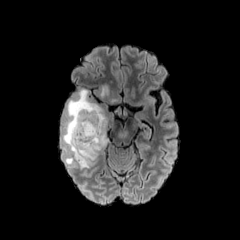
FLAIR MRI.
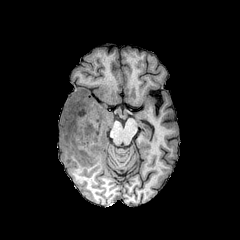
T1-weighted MR image.
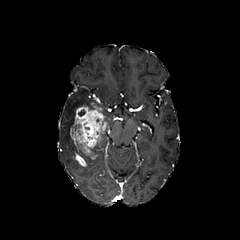
Post-contrast T1-weighted magnetic resonance.
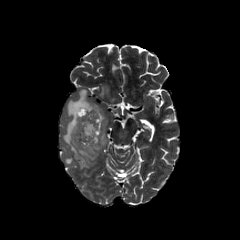
Same slice, T2-weighted MR.
Brain. Axial plane. 240x240.
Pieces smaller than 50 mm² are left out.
{
  "enhancing_tumor": [
    "69:103:108:166"
  ],
  "peritumoral_edema": [
    "100:85:114:102",
    "62:88:100:164"
  ],
  "necrotic_tumor_core": [
    "78:109:86:117",
    "75:140:89:162"
  ]
}